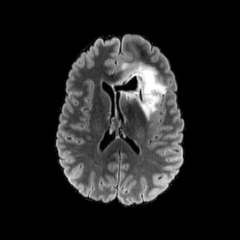
FLAIR magnetic resonance.
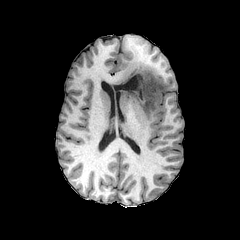
T1-weighted MR image.
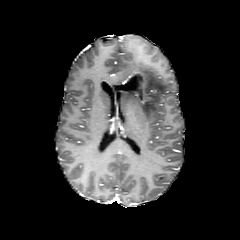
Post-contrast T1-weighted magnetic resonance of the same slice.
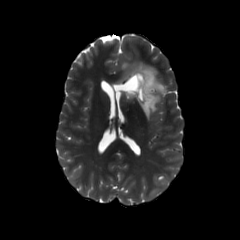
T2-weighted MR of the same slice.
Axial plane | Head
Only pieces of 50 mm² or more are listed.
The necrotic tumor core is at <box>113,76,137,91</box>. The peritumoral edema appears at <box>115,62,166,119</box>. The largest enhancing tumor region is located at <box>123,71,146,87</box>.